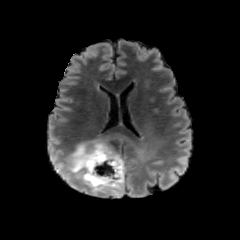
FLAIR MR.
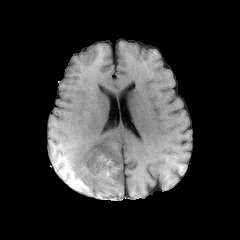
Same slice, T1-weighted magnetic resonance.
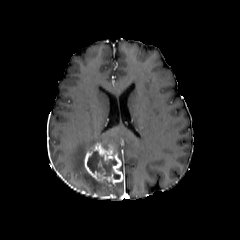
Post-contrast T1-weighted MR image of the same slice.
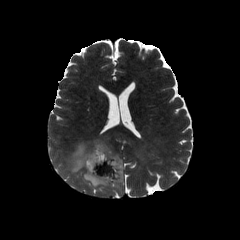
T2-weighted MR.
Axial slice; Brain; 240x240
necrotic tumor core — region(87, 151, 119, 178)
enhancing tumor — region(84, 143, 122, 185)
peritumoral edema — region(66, 139, 124, 190)